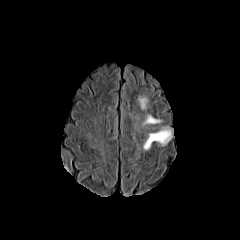
FLAIR magnetic resonance.
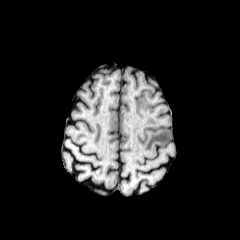
T1-weighted MR image.
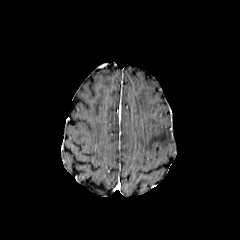
Same slice, post-contrast T1-weighted MRI.
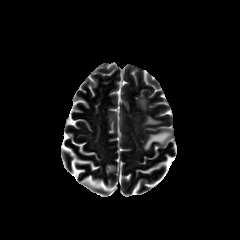
T2-weighted MR of the same slice.
240x240, Axial slice
3 peritumoral edema regions appear at <box>139,97,147,109</box>, <box>143,127,172,149</box>, <box>143,115,160,124</box>.